Image width 240 mm, Axial slice
FLAIR MR.
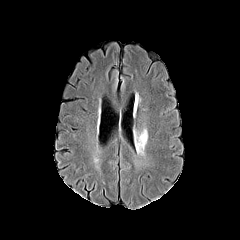
T1-weighted MRI.
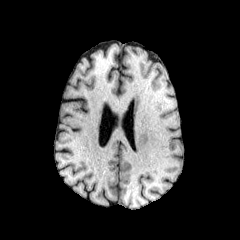
Post-contrast T1-weighted MR image.
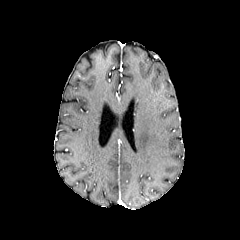
T2-weighted magnetic resonance.
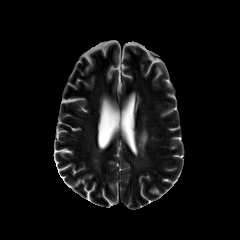
peritumoral edema = <bbox>135, 129, 147, 154</bbox>